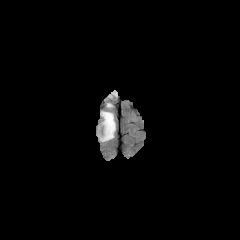
FLAIR MR.
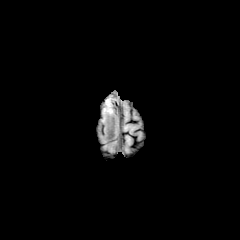
Same slice, T1-weighted MRI.
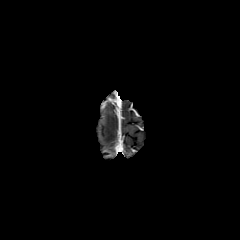
Post-contrast T1-weighted MR image.
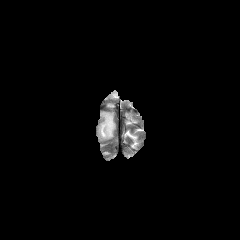
Same slice, T2-weighted magnetic resonance.
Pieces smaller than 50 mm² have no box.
Segmented structures:
* peritumoral edema: bbox=[101, 112, 115, 141]